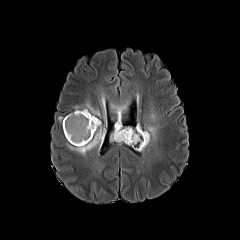
FLAIR MRI.
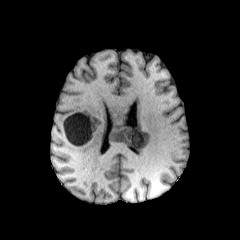
Same slice, T1-weighted MR.
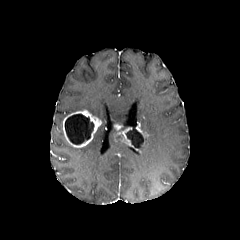
Same slice, post-contrast T1-weighted MRI.
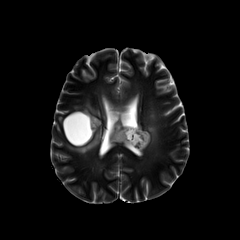
T2-weighted MR.
Axial slice
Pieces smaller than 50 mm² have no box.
peritumoral edema = (left=83, top=102, right=100, bottom=116), (left=112, top=105, right=126, bottom=124), (left=67, top=125, right=105, bottom=154), (left=140, top=124, right=157, bottom=150)
necrotic tumor core = (left=126, top=129, right=143, bottom=148), (left=65, top=114, right=93, bottom=144)
enhancing tumor = (left=62, top=110, right=101, bottom=147), (left=136, top=123, right=148, bottom=147), (left=113, top=124, right=133, bottom=147)